Brain | 240x240 | Axial plane
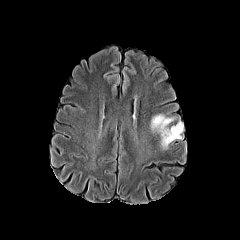
FLAIR MRI.
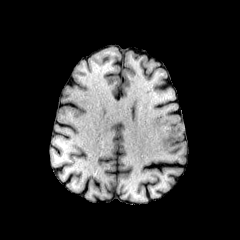
T1-weighted MRI of the same slice.
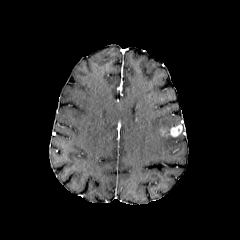
Post-contrast T1-weighted MR.
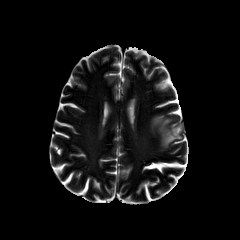
T2-weighted MR image.
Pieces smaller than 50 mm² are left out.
enhancing tumor — rect(159, 124, 182, 137)
peritumoral edema — rect(150, 114, 173, 133); rect(160, 134, 182, 149)